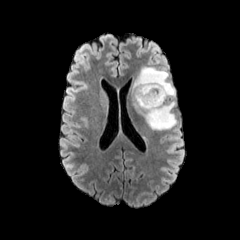
FLAIR magnetic resonance.
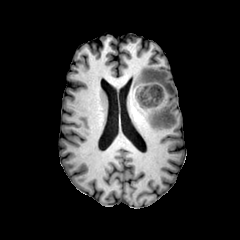
T1-weighted MR image.
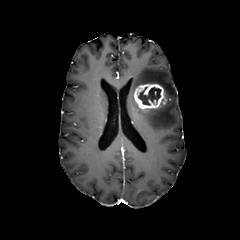
Post-contrast T1-weighted MR of the same slice.
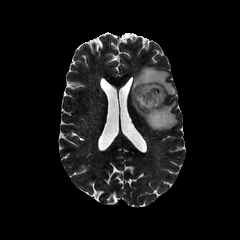
T2-weighted MRI.
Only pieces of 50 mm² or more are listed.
The largest enhancing tumor region appears at region(134, 83, 164, 109). The largest necrotic tumor core region appears at region(137, 86, 161, 105). The peritumoral edema lies within region(130, 67, 176, 129).